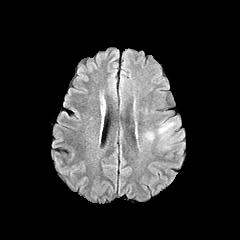
FLAIR MR image.
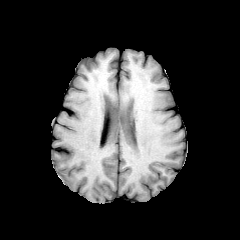
T1-weighted magnetic resonance of the same slice.
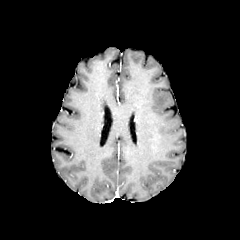
Same slice, post-contrast T1-weighted MR.
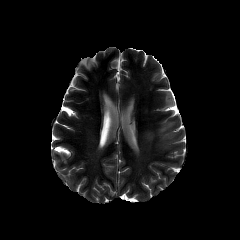
T2-weighted magnetic resonance.
Brain
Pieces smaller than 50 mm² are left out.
peritumoral edema at (159, 122, 173, 133)